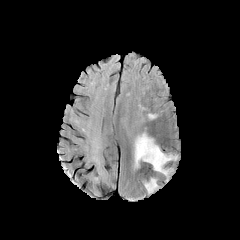
FLAIR MR.
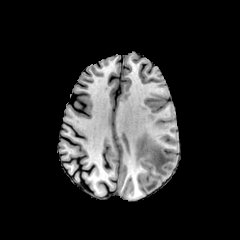
T1-weighted MRI.
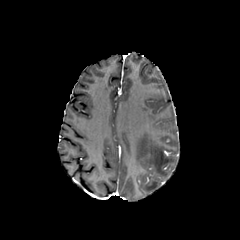
Post-contrast T1-weighted MR.
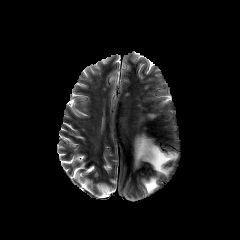
T2-weighted magnetic resonance of the same slice.
Axial plane
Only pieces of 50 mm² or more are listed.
<segmentation>
  <peritumoral_edema>[134, 133, 177, 175], [144, 178, 157, 192]</peritumoral_edema>
</segmentation>